Slice index 71, Axial view, Brain
FLAIR magnetic resonance.
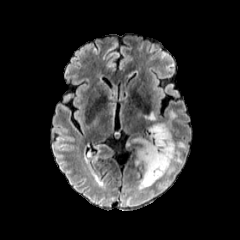
T1-weighted magnetic resonance.
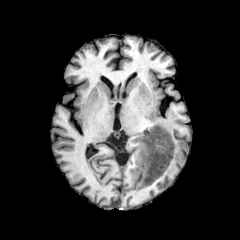
Post-contrast T1-weighted magnetic resonance.
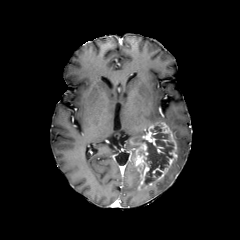
T2-weighted MR.
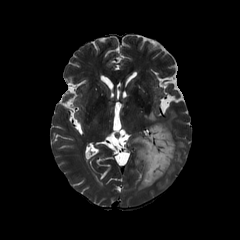
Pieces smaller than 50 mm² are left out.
The largest necrotic tumor core region is bounded by bbox=[142, 126, 173, 184]. The 3 largest peritumoral edema regions appear at bbox=[165, 111, 176, 129]; bbox=[145, 112, 157, 122]; bbox=[166, 141, 187, 175]. The largest enhancing tumor region appears at bbox=[132, 121, 177, 189].